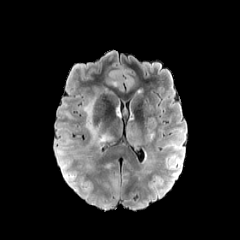
FLAIR magnetic resonance.
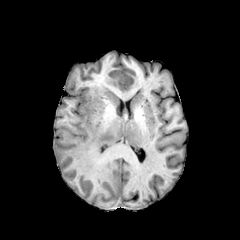
T1-weighted magnetic resonance.
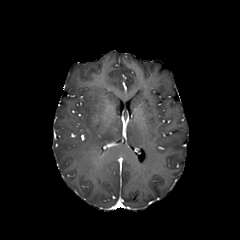
Post-contrast T1-weighted MRI.
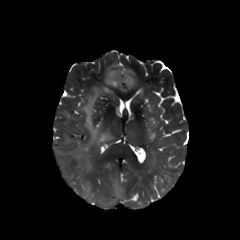
T2-weighted magnetic resonance.
Brain, Axial plane
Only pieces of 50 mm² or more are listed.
{"peritumoral_edema": ["region(125, 123, 142, 148)", "region(56, 149, 65, 171)", "region(81, 97, 112, 146)"]}